Slice 104 of 155, Head
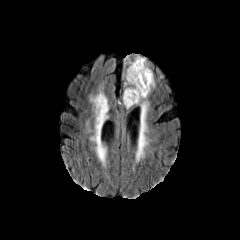
FLAIR MR.
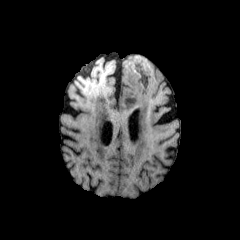
Same slice, T1-weighted MR image.
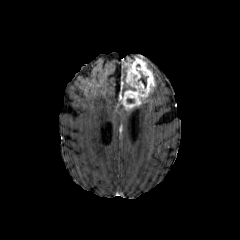
Same slice, post-contrast T1-weighted MR.
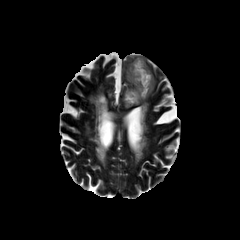
Same slice, T2-weighted MR.
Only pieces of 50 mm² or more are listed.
<segmentation>
  <necrotic_tumor_core>138, 75, 147, 87</necrotic_tumor_core>
  <enhancing_tumor>121, 57, 155, 110</enhancing_tumor>
  <peritumoral_edema>122, 56, 135, 78; 121, 81, 135, 91</peritumoral_edema>
</segmentation>